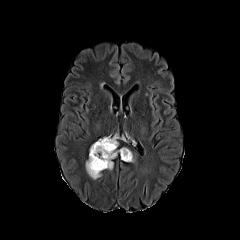
FLAIR MR image.
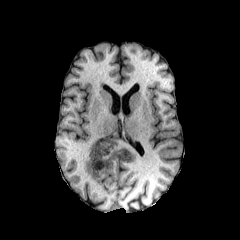
T1-weighted MRI.
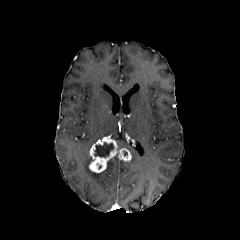
Same slice, post-contrast T1-weighted MR.
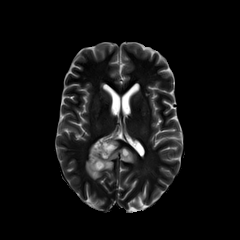
T2-weighted MR image of the same slice.
Head; Image size 240x240
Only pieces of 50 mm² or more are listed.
necrotic_tumor_core:
  - bbox=[94, 142, 113, 157]
peritumoral_edema:
  - bbox=[85, 156, 101, 179]
  - bbox=[107, 160, 113, 170]
enhancing_tumor:
  - bbox=[89, 137, 131, 172]